Axial plane. Slice index 59.
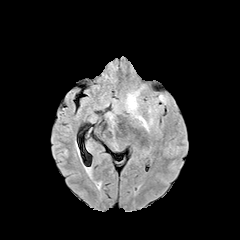
FLAIR MR image.
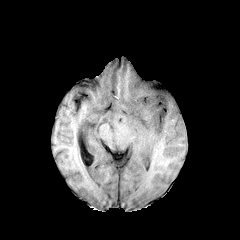
Same slice, T1-weighted MRI.
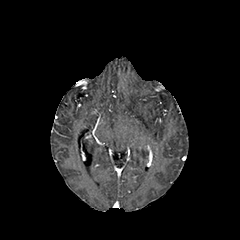
Post-contrast T1-weighted MR image.
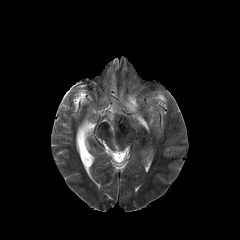
T2-weighted magnetic resonance of the same slice.
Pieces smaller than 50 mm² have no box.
peritumoral edema: left=136, top=113, right=148, bottom=130; left=126, top=91, right=138, bottom=111